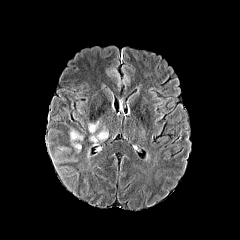
FLAIR magnetic resonance.
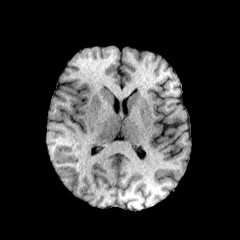
T1-weighted MRI of the same slice.
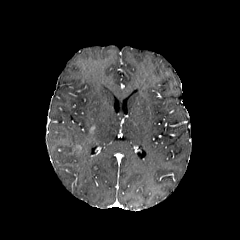
Same slice, post-contrast T1-weighted MR image.
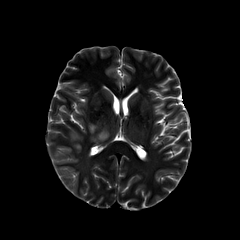
T2-weighted MR image.
Axial plane
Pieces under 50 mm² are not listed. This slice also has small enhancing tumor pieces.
The 2 largest peritumoral edema regions are located at {"x1": 70, "y1": 131, "x2": 83, "y2": 141}, {"x1": 90, "y1": 129, "x2": 108, "y2": 144}.